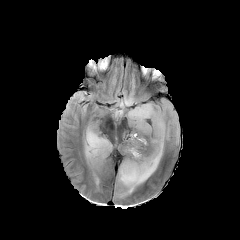
FLAIR magnetic resonance.
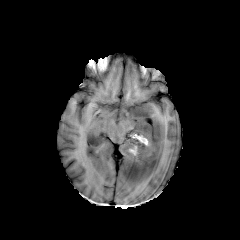
Same slice, T1-weighted magnetic resonance.
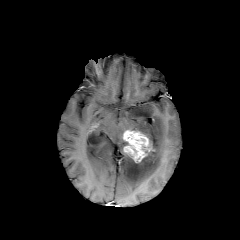
Post-contrast T1-weighted magnetic resonance.
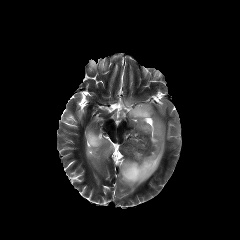
T2-weighted MR image.
Axial view. Brain.
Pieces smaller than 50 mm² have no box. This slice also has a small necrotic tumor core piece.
enhancing tumor: [123, 130, 153, 162]
peritumoral edema: [116, 94, 137, 116], [85, 125, 112, 165], [118, 103, 168, 195]